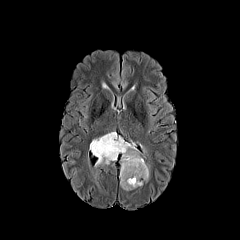
FLAIR MR image.
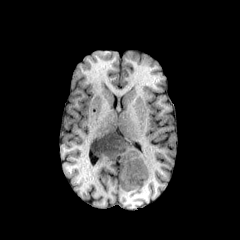
Same slice, T1-weighted magnetic resonance.
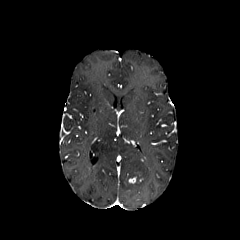
Post-contrast T1-weighted MR.
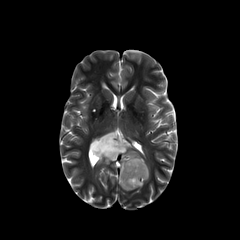
T2-weighted magnetic resonance.
240x240; Head; Axial plane
peritumoral edema: bbox(90, 132, 149, 190)
enhancing tumor: bbox(128, 177, 136, 183)